FLAIR magnetic resonance.
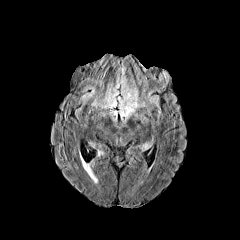
T1-weighted MR image.
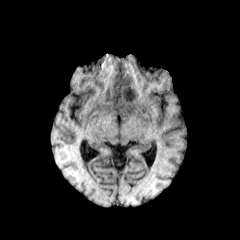
Post-contrast T1-weighted MRI.
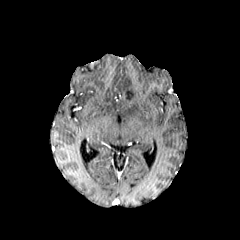
T2-weighted MRI.
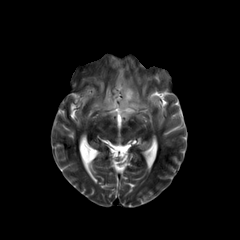
Head
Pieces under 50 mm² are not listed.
necrotic_tumor_core:
  - box(125, 89, 134, 100)
enhancing_tumor:
  - box(122, 85, 137, 106)
peritumoral_edema:
  - box(100, 67, 144, 121)